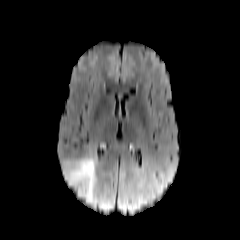
FLAIR MR.
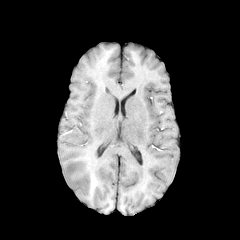
Same slice, T1-weighted MR.
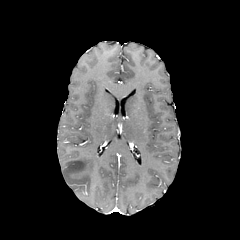
Post-contrast T1-weighted magnetic resonance of the same slice.
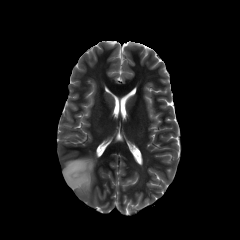
Same slice, T2-weighted magnetic resonance.
Head | Axial slice
The peritumoral edema is bounded by <box>63,156,96,202</box>.